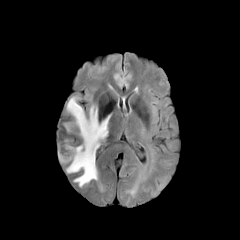
FLAIR MR.
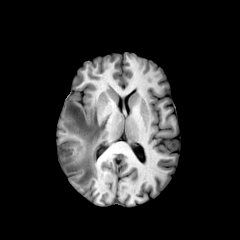
T1-weighted MRI.
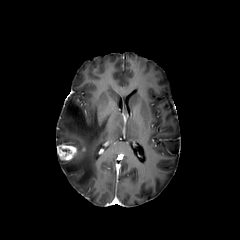
Post-contrast T1-weighted MR.
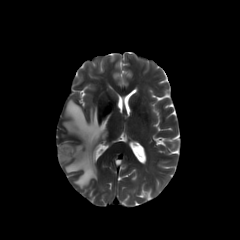
T2-weighted magnetic resonance.
240x240 px. Head.
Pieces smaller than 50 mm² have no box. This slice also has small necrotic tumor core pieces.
Annotated regions:
- peritumoral edema: x1=64 y1=98 x2=110 y2=187
- enhancing tumor: x1=57 y1=142 x2=77 y2=161